FLAIR MR.
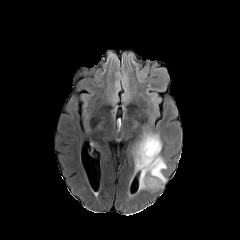
T1-weighted magnetic resonance.
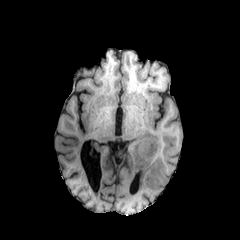
Post-contrast T1-weighted MRI.
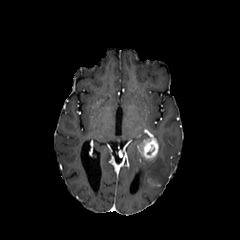
T2-weighted MRI.
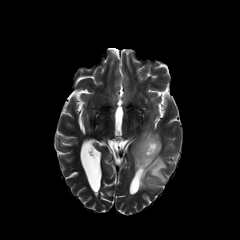
Axial view
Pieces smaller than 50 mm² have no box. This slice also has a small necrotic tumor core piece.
enhancing_tumor:
  - region(137, 137, 158, 160)
  - region(148, 179, 160, 187)
peritumoral_edema:
  - region(134, 134, 166, 189)